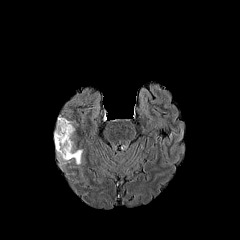
FLAIR magnetic resonance.
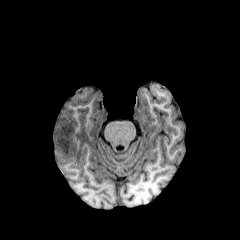
Same slice, T1-weighted MR image.
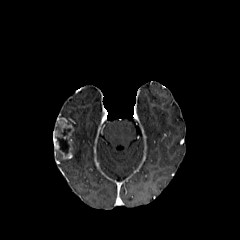
Same slice, post-contrast T1-weighted MRI.
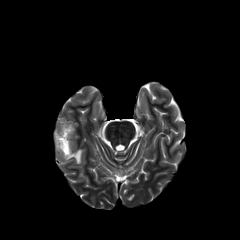
T2-weighted MR image.
Axial slice, Head
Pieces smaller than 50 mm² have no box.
<segmentation>
  <enhancing_tumor>region(53, 117, 74, 159)</enhancing_tumor>
  <necrotic_tumor_core>region(60, 128, 71, 136); region(55, 136, 71, 154)</necrotic_tumor_core>
  <peritumoral_edema>region(56, 149, 82, 165)</peritumoral_edema>
</segmentation>